Slice index 67; Axial slice; Head
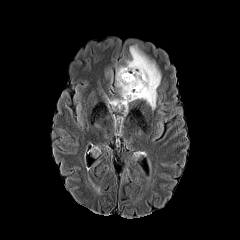
FLAIR MR image.
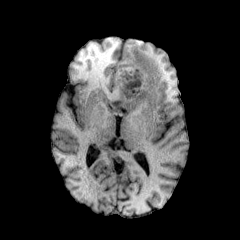
T1-weighted MR image.
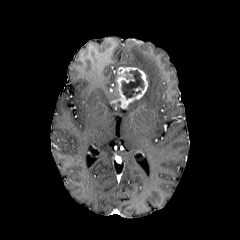
Post-contrast T1-weighted MR of the same slice.
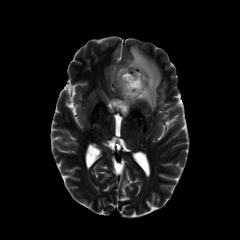
T2-weighted MRI of the same slice.
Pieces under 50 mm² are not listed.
<segmentation>
  <necrotic_tumor_core><box>122,70,144,98</box></necrotic_tumor_core>
  <peritumoral_edema><box>124,45,160,109</box></peritumoral_edema>
  <enhancing_tumor><box>110,67,147,108</box></enhancing_tumor>
</segmentation>